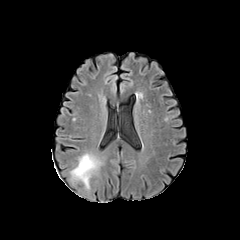
FLAIR MRI.
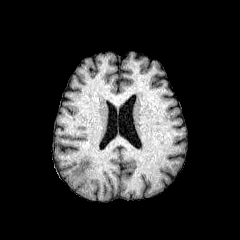
T1-weighted magnetic resonance.
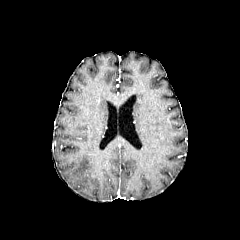
Post-contrast T1-weighted magnetic resonance of the same slice.
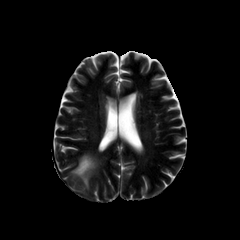
T2-weighted MR.
Head, 240x240 px, Axial plane
<segmentation>
  <peritumoral_edema>(left=71, top=153, right=99, bottom=185)</peritumoral_edema>
</segmentation>